FLAIR magnetic resonance.
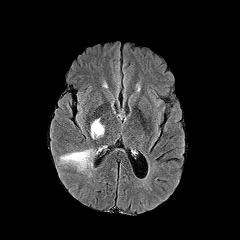
T1-weighted magnetic resonance.
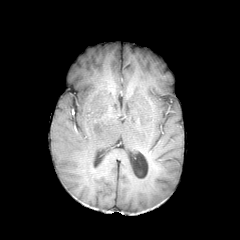
Post-contrast T1-weighted MR.
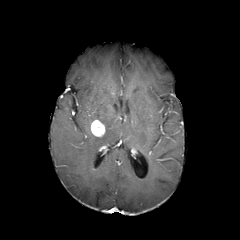
T2-weighted magnetic resonance.
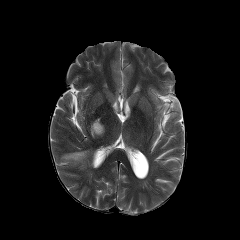
240x240.
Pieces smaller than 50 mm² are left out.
The largest peritumoral edema region is at (left=60, top=149, right=97, bottom=170). The enhancing tumor lies within (left=91, top=120, right=104, bottom=136).